Head. 240x240. Slice 79/155. Axial plane.
FLAIR magnetic resonance.
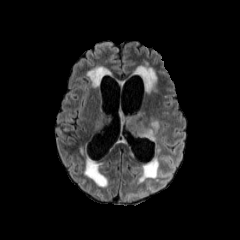
T1-weighted MR image.
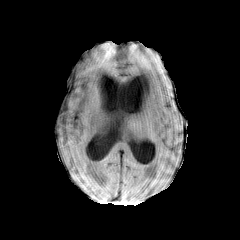
Post-contrast T1-weighted MRI.
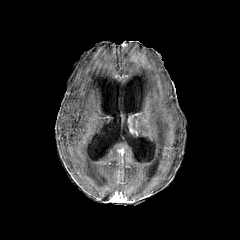
T2-weighted magnetic resonance.
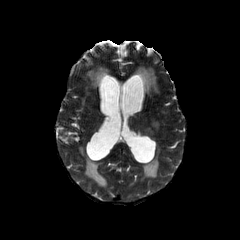
The peritumoral edema lies within [119, 110, 159, 141].